FLAIR MR.
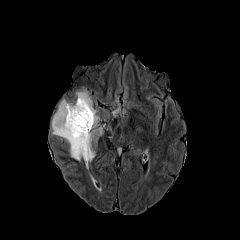
T1-weighted MR.
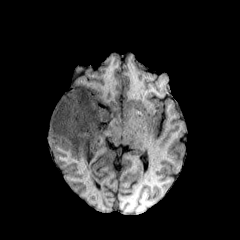
Post-contrast T1-weighted MRI.
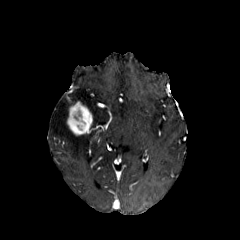
T2-weighted MR.
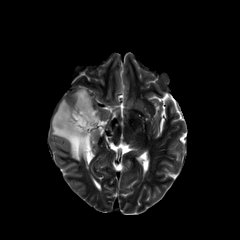
Head
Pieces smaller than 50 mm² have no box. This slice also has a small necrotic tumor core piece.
The largest peritumoral edema region is located at <box>51,89,101,169</box>. The enhancing tumor is at <box>67,101,92,135</box>.